Axial plane.
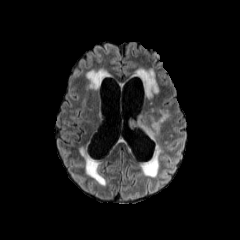
FLAIR MR.
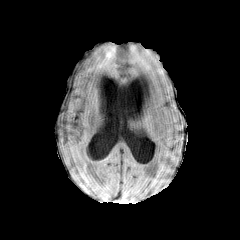
T1-weighted MR.
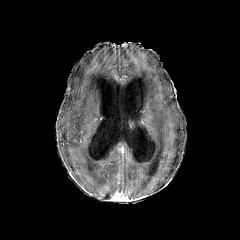
Same slice, post-contrast T1-weighted MRI.
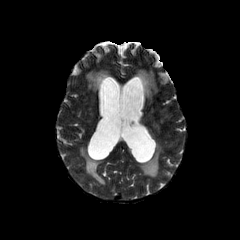
T2-weighted MRI.
peritumoral edema at bbox(129, 110, 159, 139)